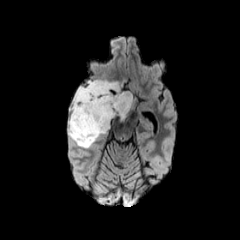
FLAIR MR.
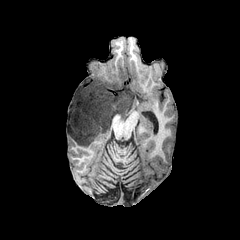
T1-weighted MRI of the same slice.
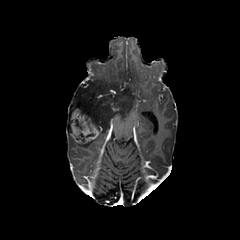
Post-contrast T1-weighted magnetic resonance.
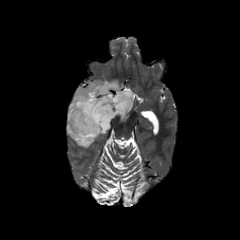
Same slice, T2-weighted MRI.
240x240; Axial view
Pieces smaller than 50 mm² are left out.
enhancing tumor at [x1=70, y1=108, x2=99, y2=143]
peritumoral edema at [x1=76, y1=137, x2=97, y2=148], [x1=67, y1=79, x2=133, y2=140]
necrotic tumor core at [x1=75, y1=119, x2=82, y2=129]